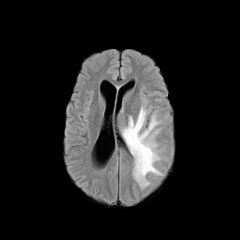
FLAIR magnetic resonance.
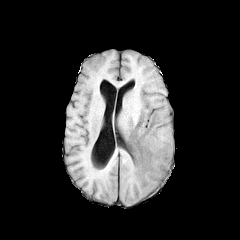
T1-weighted magnetic resonance.
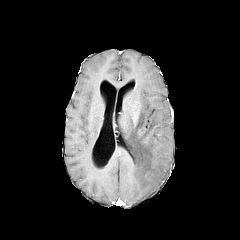
Post-contrast T1-weighted MRI.
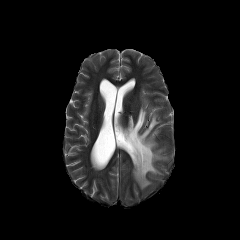
Same slice, T2-weighted magnetic resonance.
Brain
peritumoral edema: bounding box box=[121, 107, 161, 188]